FLAIR MR image.
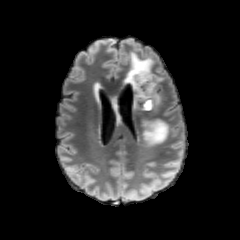
T1-weighted MR.
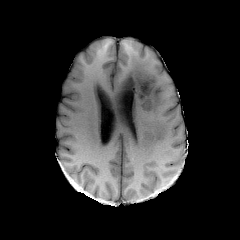
Post-contrast T1-weighted MRI.
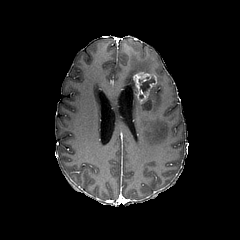
T2-weighted MRI.
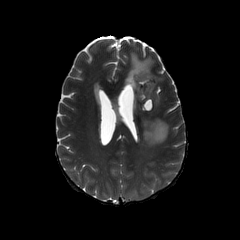
240x240 px, Head
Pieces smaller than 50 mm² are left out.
necrotic tumor core: 143:100:151:110, 140:76:155:92
peritumoral edema: 150:87:160:103, 143:120:168:146, 133:86:137:108, 125:51:153:85
enhancing tumor: 131:70:156:103